240x240. Head. Axial slice.
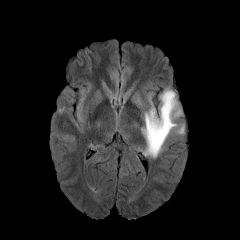
FLAIR MR image.
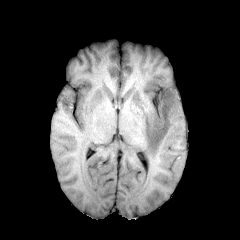
T1-weighted magnetic resonance.
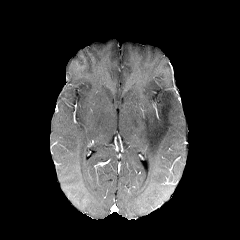
Same slice, post-contrast T1-weighted magnetic resonance.
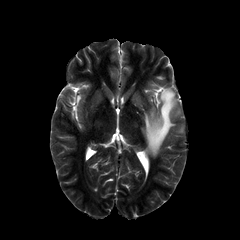
T2-weighted MR of the same slice.
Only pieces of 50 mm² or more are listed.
The largest peritumoral edema region is at left=141, top=88, right=184, bottom=157.